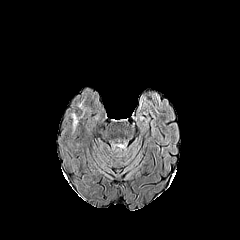
FLAIR MR image.
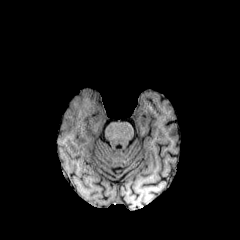
T1-weighted MR.
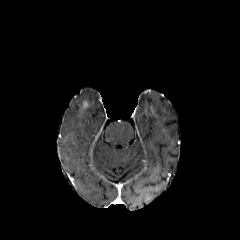
Same slice, post-contrast T1-weighted MR.
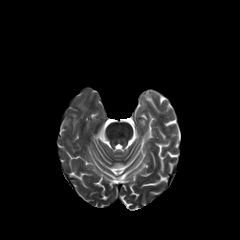
T2-weighted magnetic resonance of the same slice.
Brain.
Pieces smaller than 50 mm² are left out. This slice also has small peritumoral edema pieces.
enhancing tumor at 80 101 89 112